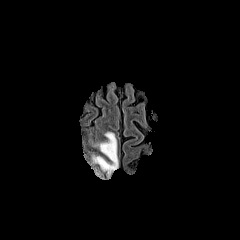
FLAIR MR image.
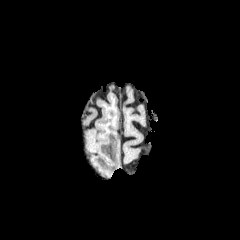
Same slice, T1-weighted MRI.
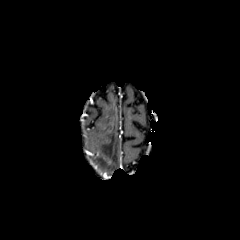
Same slice, post-contrast T1-weighted MR image.
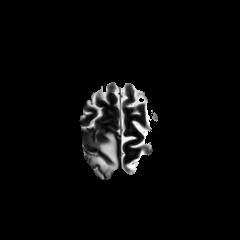
Same slice, T2-weighted MR.
240x240 px, Head
The peritumoral edema appears at {"x1": 92, "y1": 132, "x2": 118, "y2": 174}.